FLAIR MR image.
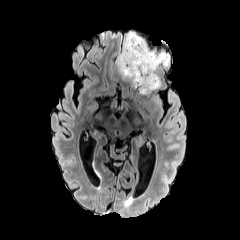
T1-weighted MR.
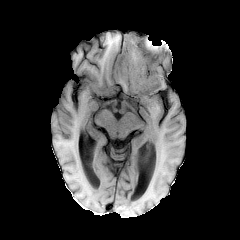
Post-contrast T1-weighted MRI.
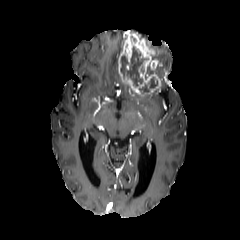
T2-weighted MRI.
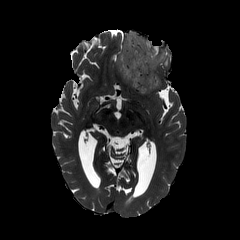
Brain | 240x240 px
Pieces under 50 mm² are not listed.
Segmented structures:
* enhancing tumor: l=118, t=32, r=162, b=95
* necrotic tumor core: l=120, t=47, r=145, b=86; l=139, t=77, r=157, b=93
* peritumoral edema: l=139, t=35, r=168, b=66